Slice index 126; Head; Image size 240x240
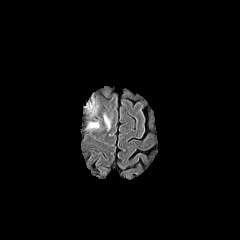
FLAIR magnetic resonance.
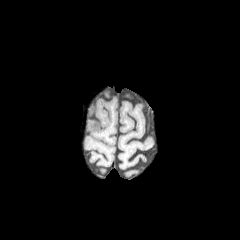
Same slice, T1-weighted magnetic resonance.
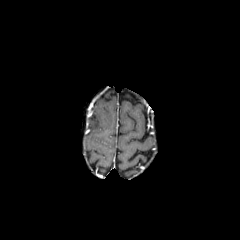
Post-contrast T1-weighted MR image of the same slice.
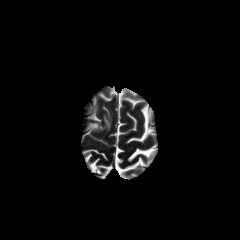
Same slice, T2-weighted MR image.
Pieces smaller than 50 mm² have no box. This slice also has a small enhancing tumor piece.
peritumoral edema — bbox=[88, 122, 99, 129]; bbox=[104, 115, 110, 129]